FLAIR magnetic resonance.
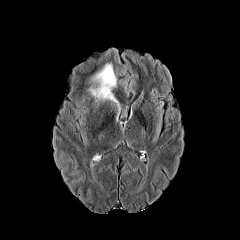
T1-weighted MR.
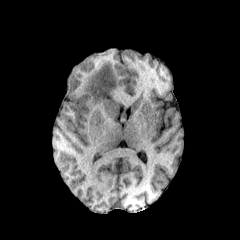
Post-contrast T1-weighted magnetic resonance.
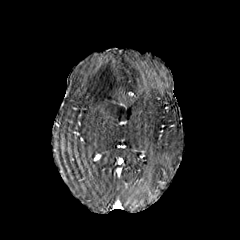
T2-weighted MRI.
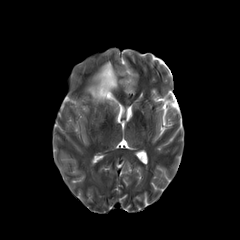
Head. 240x240.
- peritumoral edema: [x1=89, y1=63, x2=117, y2=102]